Image covers 240 mm x 240 mm | Image size 240x240
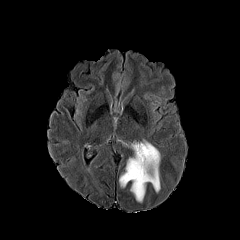
FLAIR MRI.
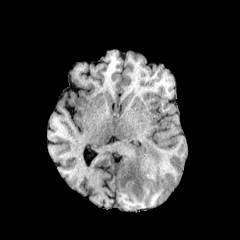
T1-weighted magnetic resonance.
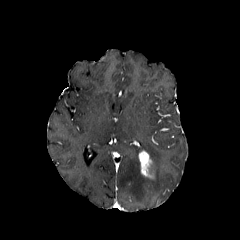
Same slice, post-contrast T1-weighted magnetic resonance.
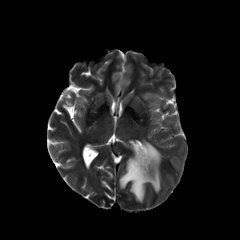
Same slice, T2-weighted magnetic resonance.
The enhancing tumor is bounded by box=[138, 150, 154, 179]. The peritumoral edema is at box=[119, 140, 160, 202].